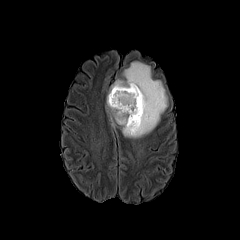
FLAIR MRI.
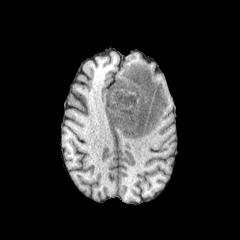
T1-weighted MR image.
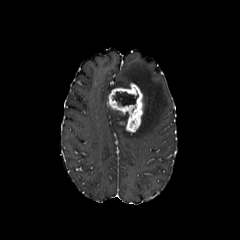
Post-contrast T1-weighted MR.
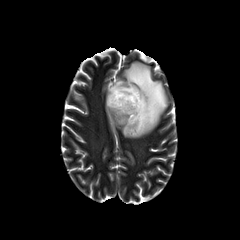
Same slice, T2-weighted MR image.
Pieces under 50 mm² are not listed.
enhancing tumor: l=107, t=83, r=143, b=132 | necrotic tumor core: l=112, t=91, r=138, b=106 | peritumoral edema: l=106, t=59, r=168, b=138